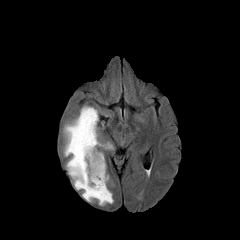
FLAIR MRI.
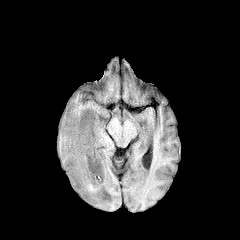
T1-weighted MR image.
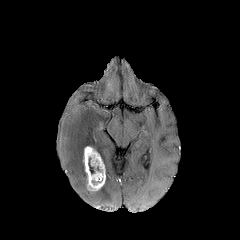
Post-contrast T1-weighted MR image.
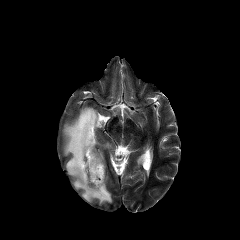
T2-weighted MRI of the same slice.
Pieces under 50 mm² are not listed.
peritumoral edema: box(63, 105, 113, 205); box(97, 150, 106, 170)
necrotic tumor core: box(92, 175, 103, 185)
enhancing tumor: box(83, 146, 105, 191)